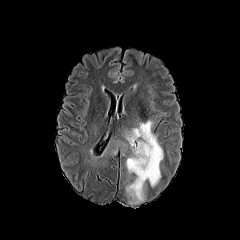
FLAIR MR image.
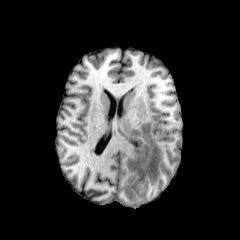
Same slice, T1-weighted MR image.
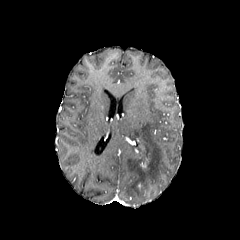
Same slice, post-contrast T1-weighted MRI.
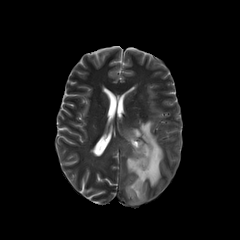
T2-weighted MRI.
Axial plane
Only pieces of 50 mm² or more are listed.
The 2 largest peritumoral edema regions appear at x1=121, y1=120, x2=163, y2=204; x1=102, y1=136, x2=127, y2=156. The largest enhancing tumor region lies within x1=140, y1=159, x2=148, y2=169.